Brain | 240x240 px
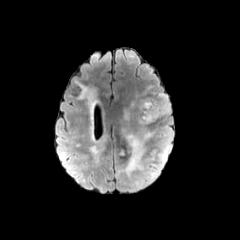
FLAIR MR.
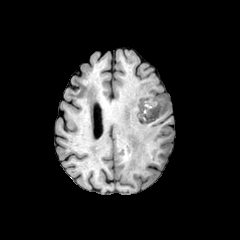
Same slice, T1-weighted MR image.
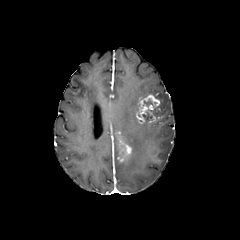
Same slice, post-contrast T1-weighted MR image.
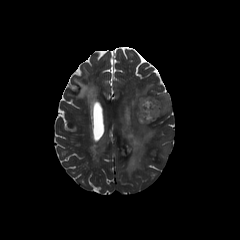
T2-weighted magnetic resonance of the same slice.
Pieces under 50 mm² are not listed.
enhancing tumor: x1=136, y1=94, x2=160, y2=123 | peritumoral edema: x1=156, y1=94, x2=170, y2=117; x1=150, y1=143, x2=169, y2=161; x1=118, y1=123, x2=153, y2=176 | necrotic tumor core: x1=142, y1=112, x2=152, y2=120